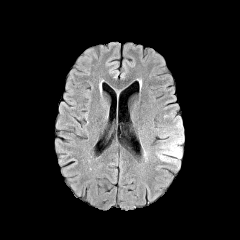
FLAIR MR.
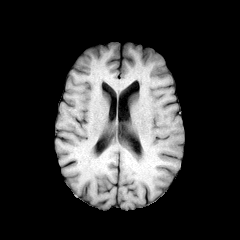
T1-weighted MR image.
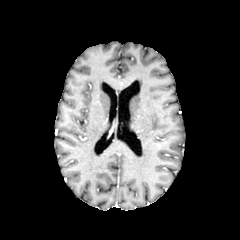
Post-contrast T1-weighted MRI.
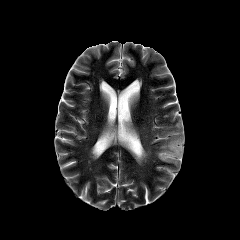
Same slice, T2-weighted MR.
240x240.
The peritumoral edema lies within x1=156 y1=121 x2=183 y2=163.